Slice index 41, Axial plane, Brain
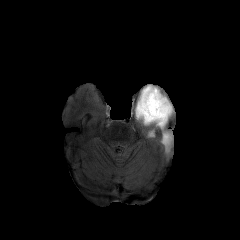
FLAIR MR.
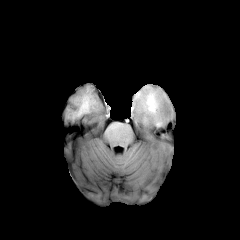
T1-weighted MRI.
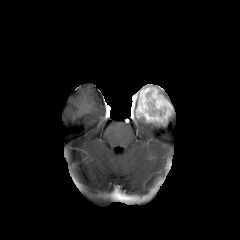
Post-contrast T1-weighted MRI.
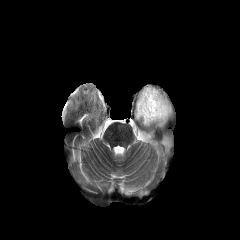
Same slice, T2-weighted magnetic resonance.
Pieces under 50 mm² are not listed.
Segmented structures:
• enhancing tumor: (135,84,173,125)
• peritumoral edema: (135,116,164,129), (147,129,154,137), (161,132,172,153)